Image width 240 mm, 1.00 mm slice spacing. Image size 240x240. Axial plane. Slice 108 of 155.
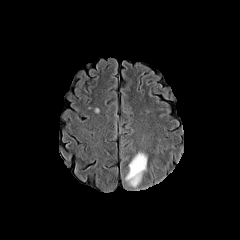
FLAIR MRI.
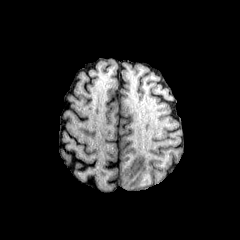
T1-weighted MRI.
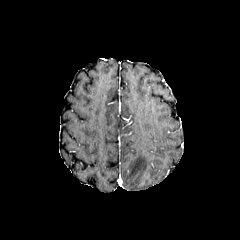
Post-contrast T1-weighted MR image of the same slice.
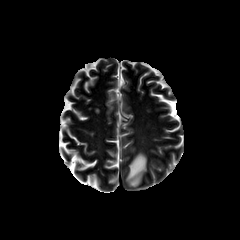
T2-weighted MR.
Annotated regions:
- peritumoral edema: <box>125,152,147,187</box>